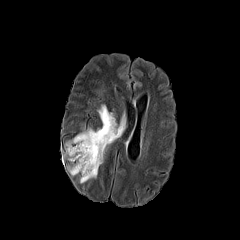
FLAIR MR image.
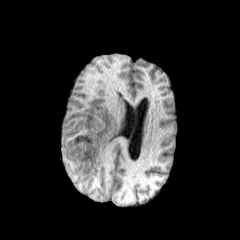
T1-weighted MR of the same slice.
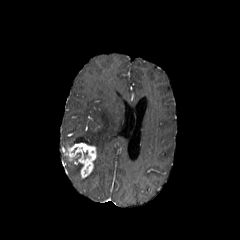
Post-contrast T1-weighted MRI.
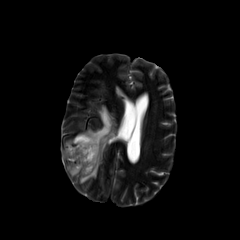
T2-weighted MR image.
Image size 240x240.
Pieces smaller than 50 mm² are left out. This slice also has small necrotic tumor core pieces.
enhancing tumor — region(64, 143, 96, 178)
peritumoral edema — region(67, 161, 82, 176); region(65, 104, 126, 183)